Image width 240 mm, 1.00 mm slice spacing, Image size 240x240, Axial view, Brain
FLAIR MR.
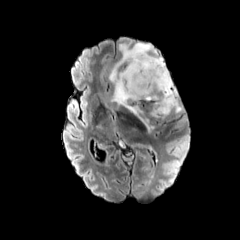
T1-weighted MR image.
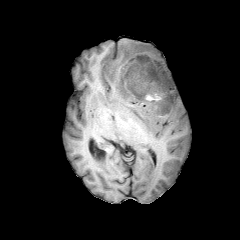
Post-contrast T1-weighted MR.
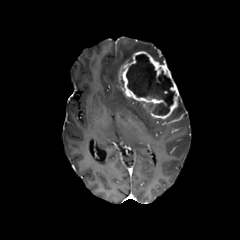
T2-weighted MR image.
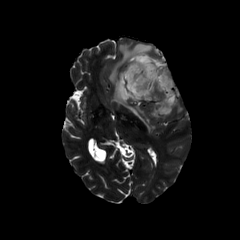
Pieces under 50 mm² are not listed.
2 peritumoral edema regions are located at box=[109, 41, 164, 132]; box=[171, 97, 183, 115]. The largest enhancing tumor region is at box=[119, 51, 179, 119]. The largest necrotic tumor core region is bounded by box=[126, 54, 174, 115].